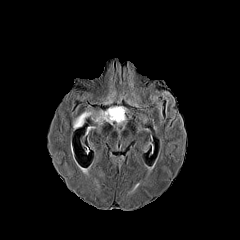
FLAIR magnetic resonance.
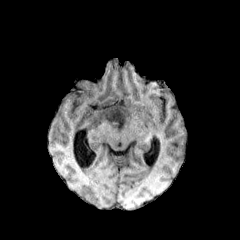
T1-weighted MRI of the same slice.
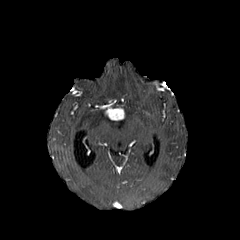
Post-contrast T1-weighted MR image of the same slice.
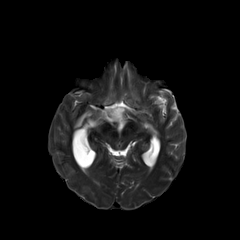
T2-weighted MR image.
240x240. Axial slice.
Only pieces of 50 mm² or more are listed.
The enhancing tumor is bounded by [105,100,124,120]. The 2 largest peritumoral edema regions are bounded by [95,111,125,124], [73,111,92,128].